FLAIR MR.
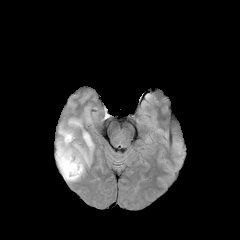
T1-weighted magnetic resonance.
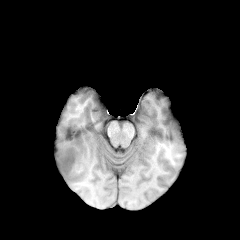
Post-contrast T1-weighted MR image.
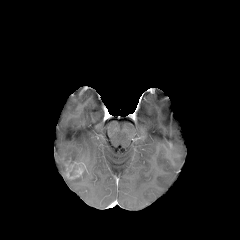
T2-weighted MR.
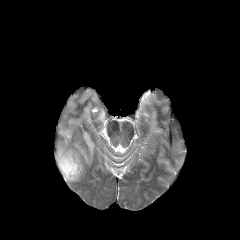
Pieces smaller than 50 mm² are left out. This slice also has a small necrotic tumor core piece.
• enhancing tumor: (64,158,85,179)
• peritumoral edema: (56,128,93,181), (69,119,81,125)